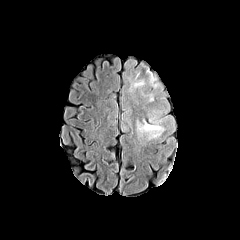
FLAIR MR image.
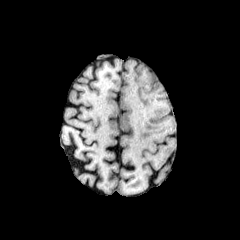
T1-weighted MR image.
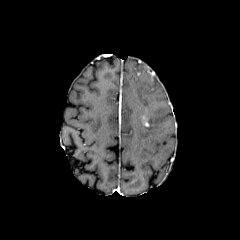
Post-contrast T1-weighted MR of the same slice.
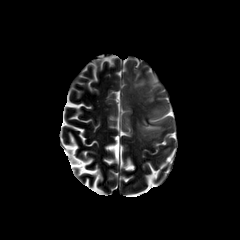
T2-weighted MRI.
Axial view
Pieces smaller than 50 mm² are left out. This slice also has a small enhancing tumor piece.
peritumoral_edema:
  - x1=150 y1=75 x2=157 y2=87
  - x1=133 y1=80 x2=144 y2=87
  - x1=138 y1=124 x2=162 y2=137